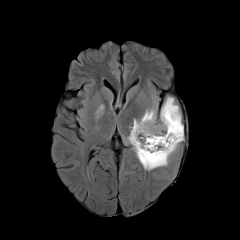
FLAIR MR.
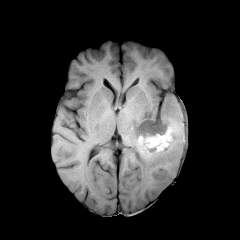
T1-weighted MR.
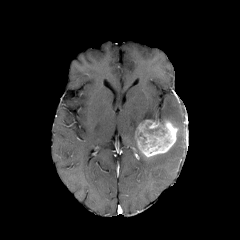
Post-contrast T1-weighted MRI.
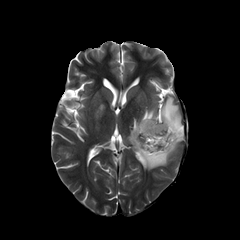
T2-weighted MR of the same slice.
240x240 px; Head
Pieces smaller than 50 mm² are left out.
* necrotic tumor core: x1=138 y1=133 x2=147 y2=145, x1=148 y1=128 x2=167 y2=137
* peritumoral edema: x1=127 y1=96 x2=183 y2=170, x1=94 y1=103 x2=104 y2=130
* enhancing tumor: x1=136 y1=120 x2=177 y2=157